FLAIR MRI.
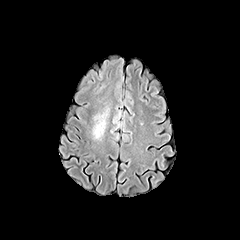
T1-weighted MRI.
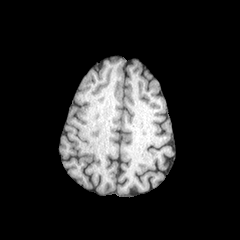
Post-contrast T1-weighted MR image.
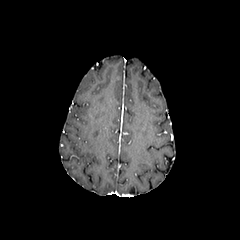
T2-weighted MR image.
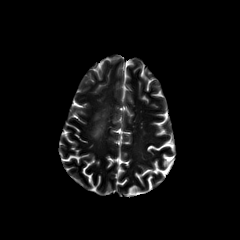
Head, 240x240
{"peritumoral_edema": ["x1=92 y1=112 x2=107 y2=138"]}